FLAIR MR image.
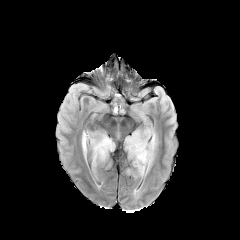
T1-weighted magnetic resonance.
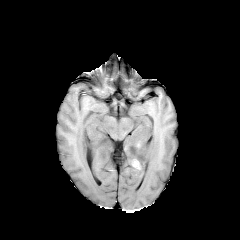
Post-contrast T1-weighted MRI.
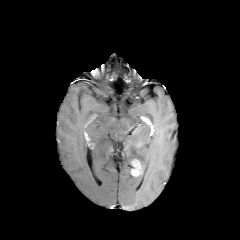
T2-weighted MRI.
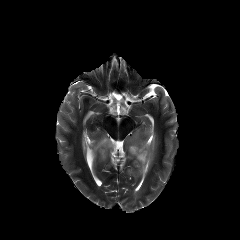
Head.
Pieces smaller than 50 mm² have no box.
* enhancing tumor: {"x1": 131, "y1": 160, "x2": 142, "y2": 176}
* peritumoral edema: {"x1": 126, "y1": 129, "x2": 155, "y2": 177}, {"x1": 82, "y1": 133, "x2": 86, "y2": 157}, {"x1": 90, "y1": 134, "x2": 114, "y2": 166}